FLAIR MR image.
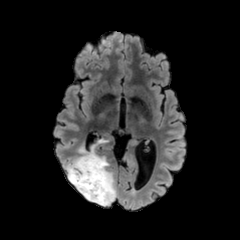
T1-weighted magnetic resonance.
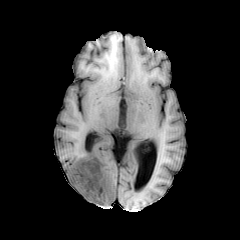
Post-contrast T1-weighted magnetic resonance.
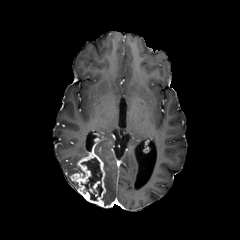
T2-weighted MR.
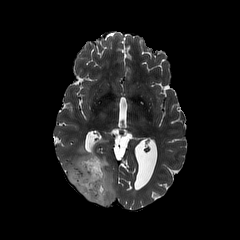
Brain. Axial plane.
enhancing tumor: box=[70, 148, 106, 206]; box=[89, 181, 100, 196] | peritumoral edema: box=[65, 139, 116, 206] | necrotic tumor core: box=[81, 157, 102, 200]